240x240, Axial plane, Head
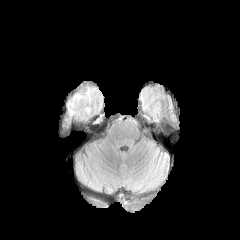
FLAIR magnetic resonance.
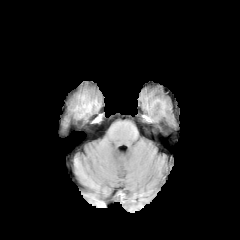
T1-weighted MR image of the same slice.
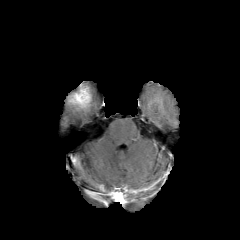
Post-contrast T1-weighted MR image of the same slice.
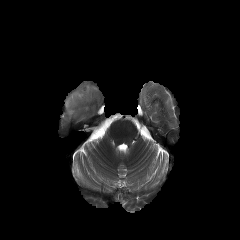
T2-weighted MRI of the same slice.
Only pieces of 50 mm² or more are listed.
Findings:
- peritumoral edema: [x1=67, y1=103, x2=80, y2=115]
- enhancing tumor: [x1=68, y1=86, x2=90, y2=106]